240x240 px. Brain. Image covers 240 mm x 240 mm.
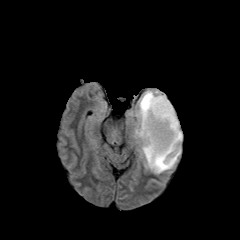
FLAIR MR image.
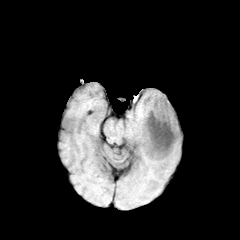
Same slice, T1-weighted MR.
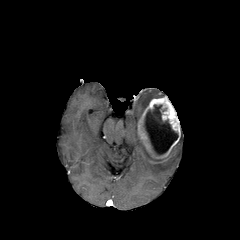
Post-contrast T1-weighted MR.
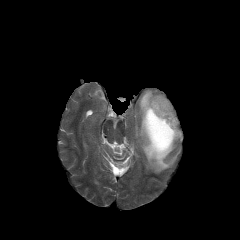
Same slice, T2-weighted MR image.
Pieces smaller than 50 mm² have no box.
The peritumoral edema lies within x1=125 y1=90 x2=182 y2=173. The enhancing tumor is bounded by x1=137 y1=96 x2=181 y2=163. The largest necrotic tumor core region lies within x1=143 y1=105 x2=178 y2=155.